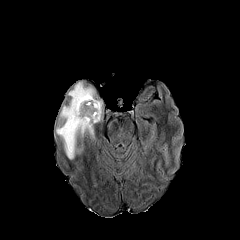
FLAIR MR image.
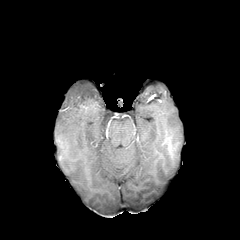
T1-weighted MRI.
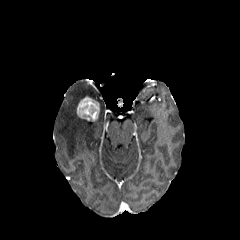
Post-contrast T1-weighted magnetic resonance of the same slice.
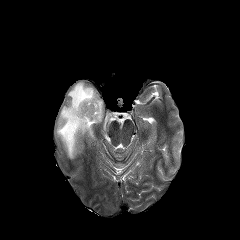
T2-weighted MR of the same slice.
Brain; Axial slice
The peritumoral edema appears at box=[56, 82, 103, 159]. The enhancing tumor appears at box=[77, 97, 99, 121].